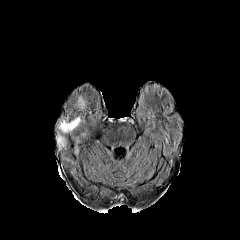
FLAIR MR image.
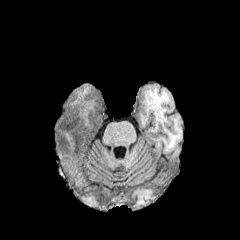
Same slice, T1-weighted magnetic resonance.
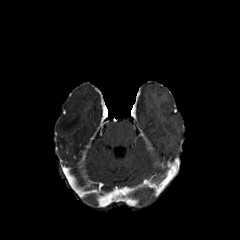
Post-contrast T1-weighted MR image of the same slice.
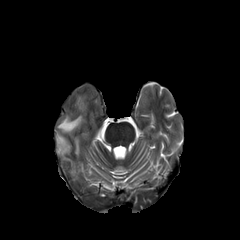
T2-weighted MR image of the same slice.
Axial slice | Brain
Annotated regions:
* peritumoral edema: 78,97,84,109; 57,136,64,147; 59,116,80,132